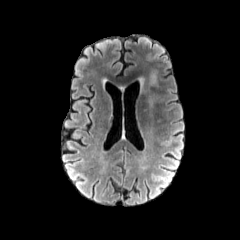
FLAIR MR.
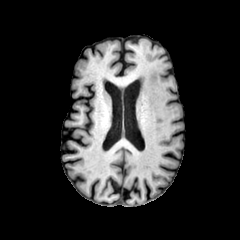
T1-weighted MR image.
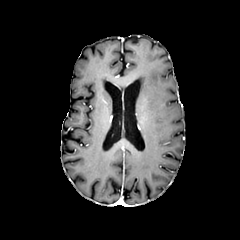
Same slice, post-contrast T1-weighted MR.
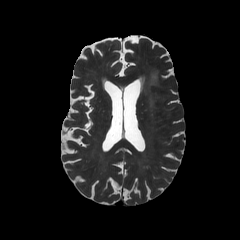
Same slice, T2-weighted MR.
Brain; Axial plane; Image size 240x240
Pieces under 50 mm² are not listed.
peritumoral_edema:
  - [x1=149, y1=93, x2=156, y2=103]
  - [x1=150, y1=70, x2=158, y2=86]